FLAIR magnetic resonance.
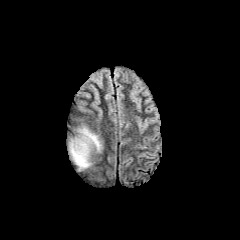
T1-weighted MRI.
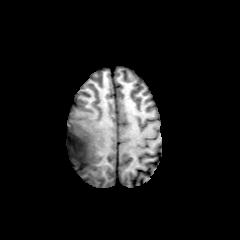
Post-contrast T1-weighted MR image.
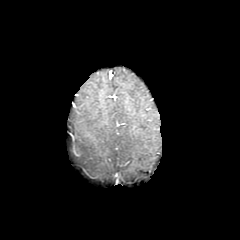
T2-weighted MR image.
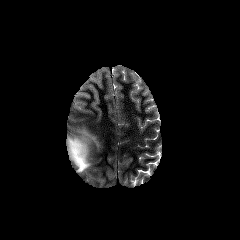
Axial view; 240x240 px; Head
<segmentation>
  <peritumoral_edema><bbox>68, 126, 101, 171</bbox></peritumoral_edema>
</segmentation>